FLAIR MR.
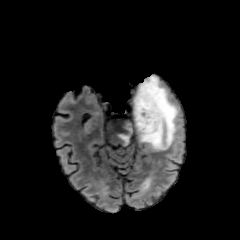
T1-weighted magnetic resonance.
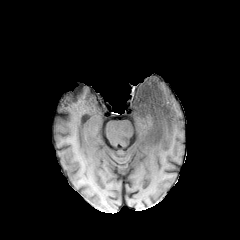
Post-contrast T1-weighted MR.
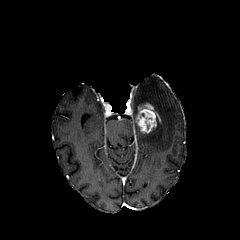
T2-weighted MR.
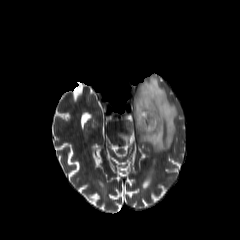
Axial plane, Head
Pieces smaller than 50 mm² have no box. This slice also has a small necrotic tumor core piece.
peritumoral edema = 116:75:178:151, 141:177:149:189
enhancing tumor = 135:102:161:133